Slice index 89. Head. Axial view.
FLAIR MR.
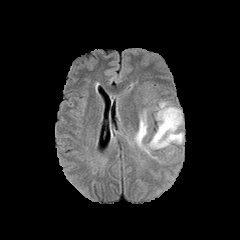
T1-weighted magnetic resonance.
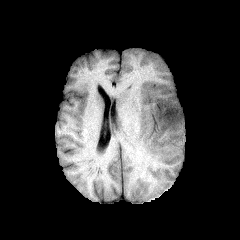
Post-contrast T1-weighted MR image.
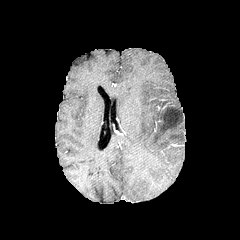
T2-weighted magnetic resonance.
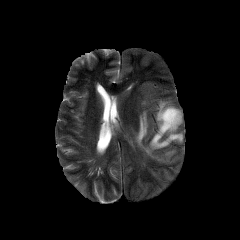
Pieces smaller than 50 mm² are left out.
{
  "peritumoral_edema": [
    "134,101,183,158"
  ]
}